Image width 240 mm | Slice index 68 | Axial view | Brain
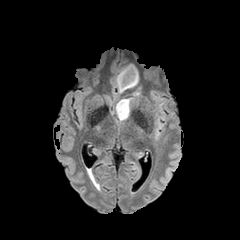
FLAIR MR.
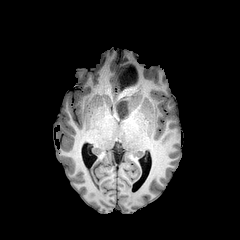
T1-weighted magnetic resonance.
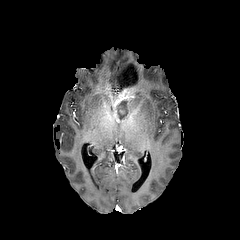
Post-contrast T1-weighted MRI.
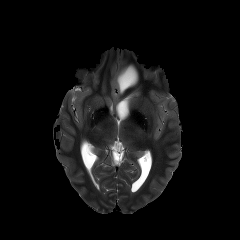
T2-weighted magnetic resonance.
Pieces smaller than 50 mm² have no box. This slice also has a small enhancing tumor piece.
peritumoral_edema:
  - {"x1": 117, "y1": 99, "x2": 129, "y2": 121}
  - {"x1": 118, "y1": 64, "x2": 139, "y2": 87}